FLAIR magnetic resonance.
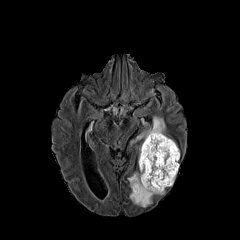
T1-weighted magnetic resonance.
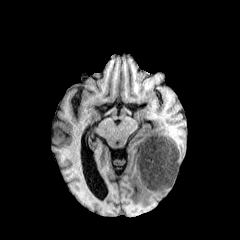
Post-contrast T1-weighted magnetic resonance.
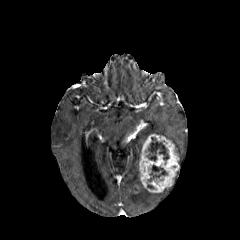
T2-weighted MR.
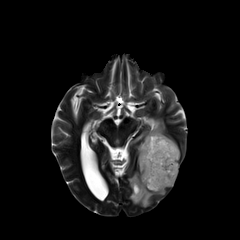
Axial slice
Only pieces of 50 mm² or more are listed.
{
  "necrotic_tumor_core": [
    {"x1": 148, "y1": 165, "x2": 167, "y2": 181},
    {"x1": 147, "y1": 137, "x2": 169, "y2": 161}
  ],
  "peritumoral_edema": [
    {"x1": 128, "y1": 172, "x2": 165, "y2": 207},
    {"x1": 131, "y1": 116, "x2": 179, "y2": 156}
  ],
  "enhancing_tumor": [
    {"x1": 139, "y1": 134, "x2": 179, "y2": 192}
  ]
}